Axial view
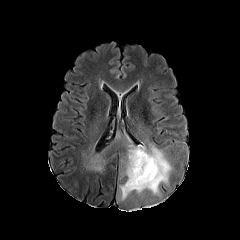
FLAIR MR image.
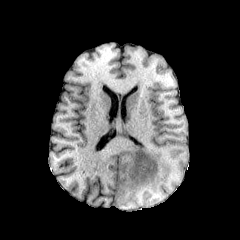
T1-weighted MR.
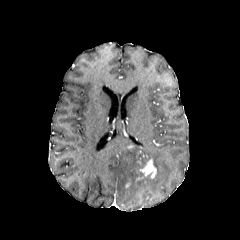
Same slice, post-contrast T1-weighted magnetic resonance.
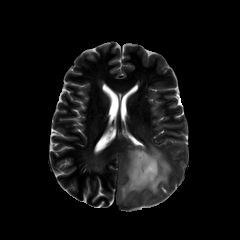
T2-weighted MR.
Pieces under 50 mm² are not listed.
Segmented structures:
* necrotic tumor core: bbox=[132, 153, 149, 182]; bbox=[137, 175, 150, 183]
* enhancing tumor: bbox=[135, 158, 156, 187]
* peritumoral edema: bbox=[119, 144, 172, 200]